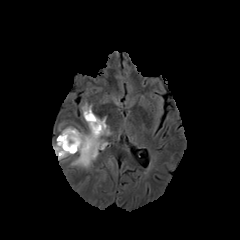
FLAIR MR image.
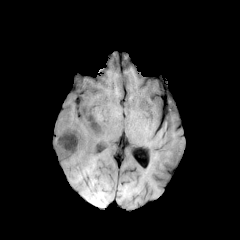
Same slice, T1-weighted MRI.
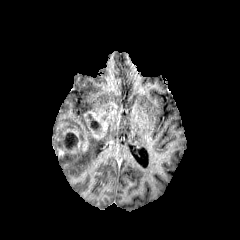
Post-contrast T1-weighted MRI.
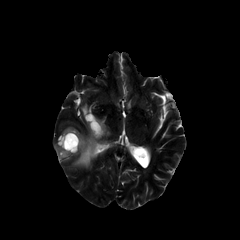
T2-weighted MRI.
Head
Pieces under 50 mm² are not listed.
* peritumoral edema: 81 103 91 116, 58 126 108 168
* enhancing tumor: 84 111 106 138, 57 129 88 156
* necrotic tumor core: 90 120 99 129, 65 132 78 150